Slice index 125 | Head
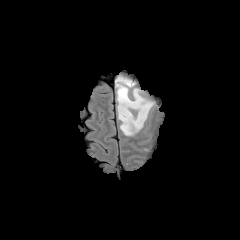
FLAIR MR image.
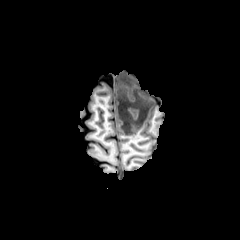
T1-weighted MR.
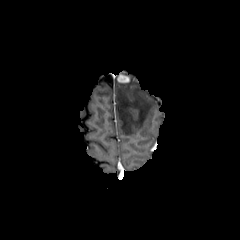
Post-contrast T1-weighted MRI of the same slice.
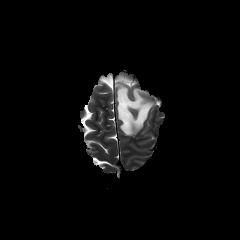
T2-weighted MR.
peritumoral edema — box(115, 78, 153, 135)
enhancing tumor — box(118, 75, 129, 82)